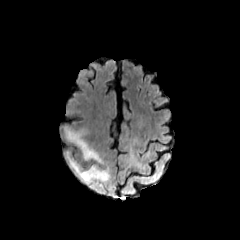
FLAIR MR.
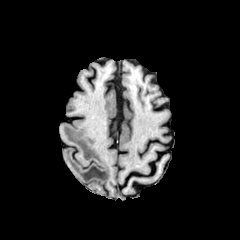
T1-weighted magnetic resonance.
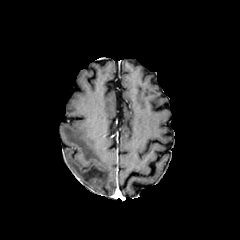
Same slice, post-contrast T1-weighted MR image.
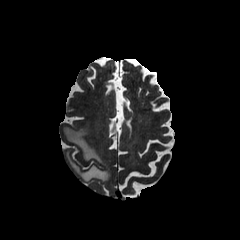
T2-weighted magnetic resonance of the same slice.
Brain. Axial view. 240x240.
2 peritumoral edema regions appear at [63, 126, 103, 164], [65, 151, 110, 184].